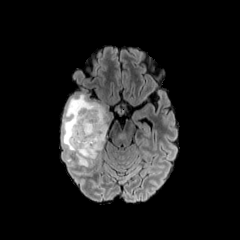
FLAIR MRI.
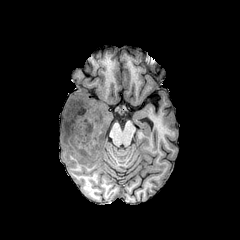
T1-weighted MR image.
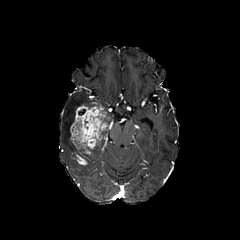
Post-contrast T1-weighted MR image of the same slice.
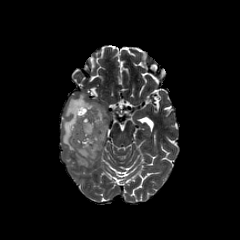
T2-weighted MR.
Brain
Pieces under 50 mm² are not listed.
peritumoral edema = l=93, t=131, r=108, b=159; l=62, t=92, r=101, b=162
enhancing tumor = l=69, t=102, r=108, b=165
necrotic tumor core = l=74, t=140, r=89, b=161